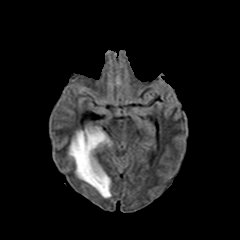
FLAIR MR.
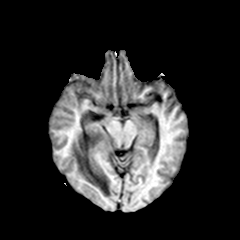
Same slice, T1-weighted MRI.
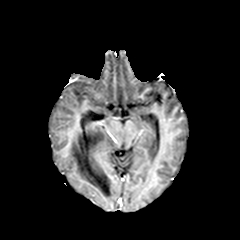
Post-contrast T1-weighted MR image.
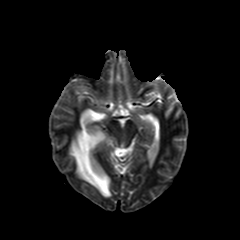
T2-weighted MR of the same slice.
240x240
peritumoral_edema:
  - 69,126,111,197